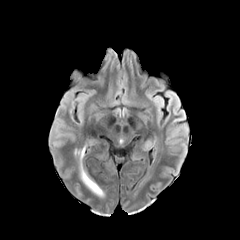
FLAIR magnetic resonance.
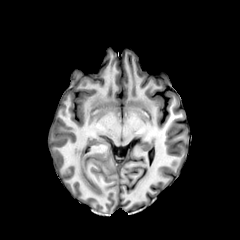
Same slice, T1-weighted MR.
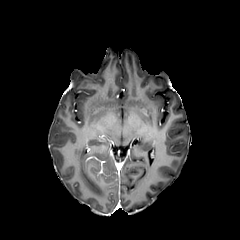
Post-contrast T1-weighted MR of the same slice.
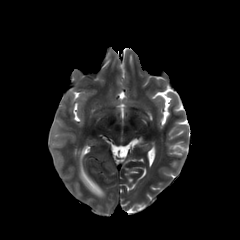
Same slice, T2-weighted MR.
Axial slice
<segmentation>
  <peritumoral_edema>{"x1": 75, "y1": 147, "x2": 104, "y2": 197}</peritumoral_edema>
</segmentation>